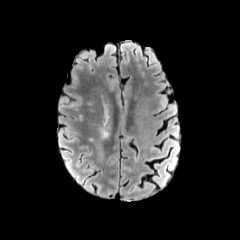
FLAIR MR image.
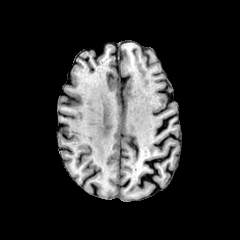
T1-weighted MR.
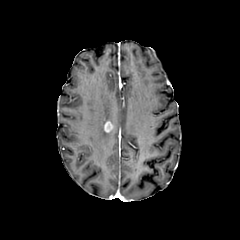
Post-contrast T1-weighted MR image of the same slice.
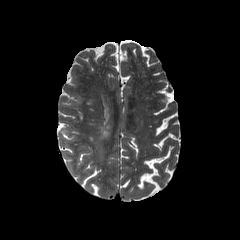
T2-weighted MR image of the same slice.
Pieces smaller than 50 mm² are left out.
Annotated regions:
• peritumoral edema: box(101, 128, 108, 138)
• enhancing tumor: box(104, 121, 112, 132)